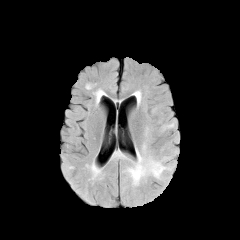
FLAIR MR image.
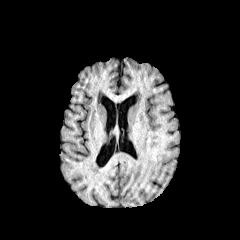
T1-weighted MR.
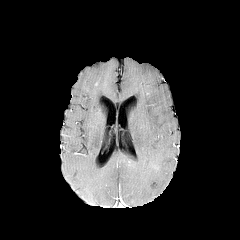
Post-contrast T1-weighted MRI.
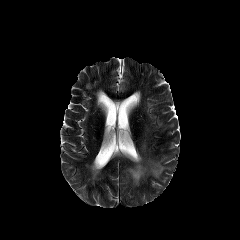
Same slice, T2-weighted magnetic resonance.
Brain
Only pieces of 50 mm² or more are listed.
peritumoral edema: 125 150 169 186